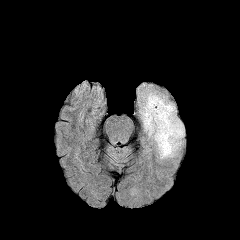
FLAIR magnetic resonance.
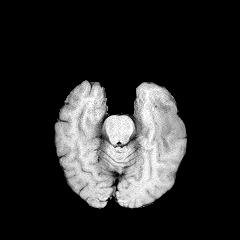
Same slice, T1-weighted MR image.
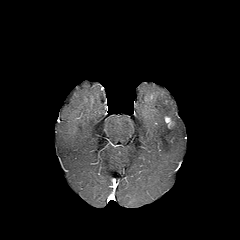
Post-contrast T1-weighted MR image.
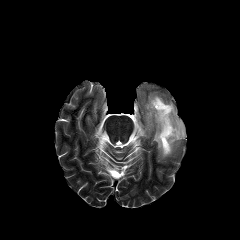
Same slice, T2-weighted magnetic resonance.
<segmentation>
  <peritumoral_edema>x1=140 y1=92 x2=184 y2=159</peritumoral_edema>
  <enhancing_tumor>x1=165 y1=116 x2=174 y2=128</enhancing_tumor>
</segmentation>